Axial view, Head
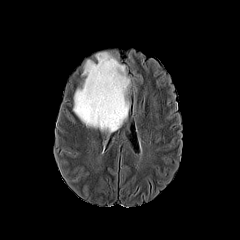
FLAIR MR.
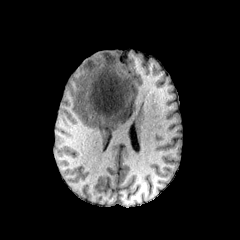
T1-weighted MR of the same slice.
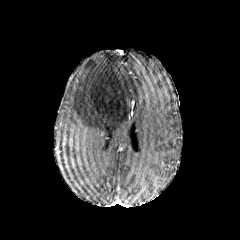
Post-contrast T1-weighted MR.
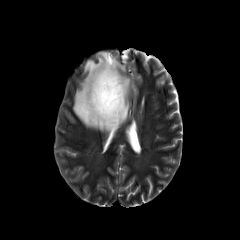
T2-weighted magnetic resonance.
The peritumoral edema is located at [73, 52, 130, 133].